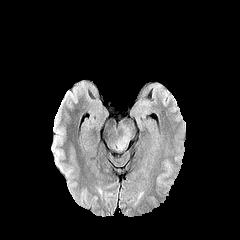
FLAIR MRI.
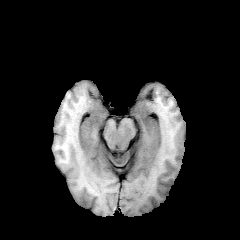
T1-weighted MR.
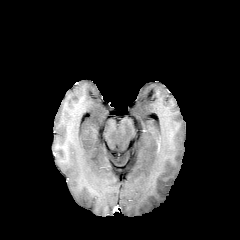
Post-contrast T1-weighted MR.
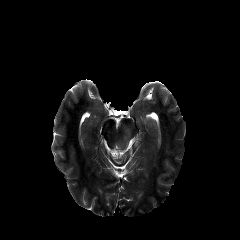
T2-weighted magnetic resonance.
Head
peritumoral edema: box=[117, 129, 130, 150]